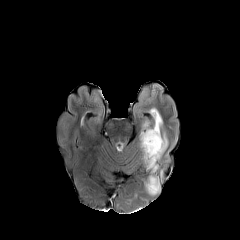
FLAIR MR.
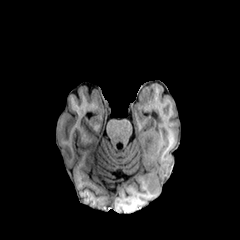
Same slice, T1-weighted MRI.
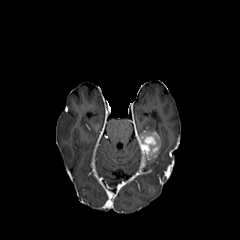
Post-contrast T1-weighted MR image.
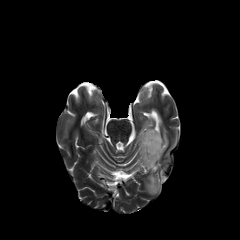
T2-weighted magnetic resonance of the same slice.
240x240 | Axial slice
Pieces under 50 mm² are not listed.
peritumoral edema: bounding box (x1=148, y1=176, x2=159, y2=194), (x1=146, y1=111, x2=166, y2=169)
enhancing tumor: bounding box (x1=141, y1=130, x2=160, y2=161)